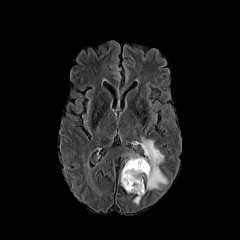
FLAIR magnetic resonance.
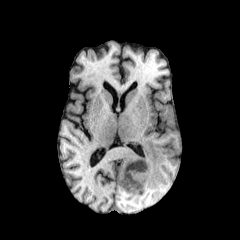
T1-weighted magnetic resonance.
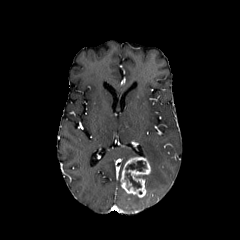
Same slice, post-contrast T1-weighted magnetic resonance.
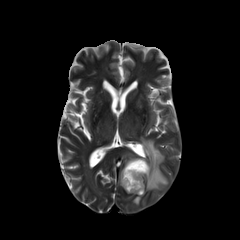
Same slice, T2-weighted MRI.
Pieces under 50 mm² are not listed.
The 2 largest necrotic tumor core regions are bounded by (125,173,141,188), (126,160,146,171). The enhancing tumor is at (120,157,150,197). The largest peritumoral edema region appears at (137,137,167,190).